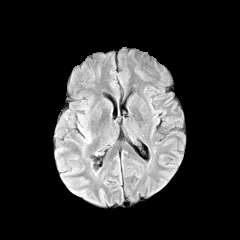
FLAIR MRI.
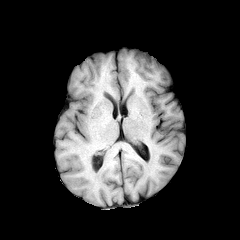
T1-weighted MR.
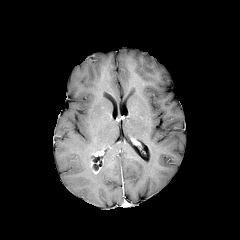
Post-contrast T1-weighted magnetic resonance.
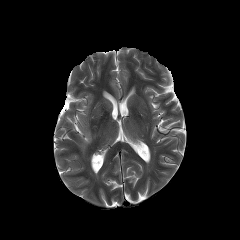
T2-weighted MR image of the same slice.
Image size 240x240
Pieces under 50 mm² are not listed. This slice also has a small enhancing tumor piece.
peritumoral edema: 83:133:91:143